Axial view | Head
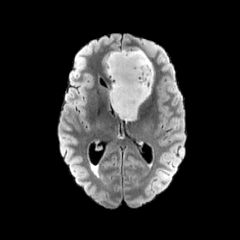
FLAIR MR.
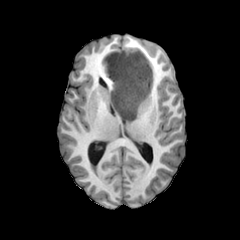
T1-weighted MRI.
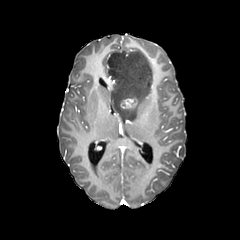
Same slice, post-contrast T1-weighted MR image.
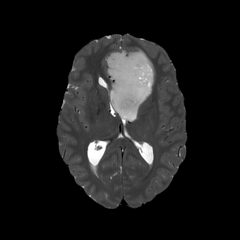
T2-weighted MRI.
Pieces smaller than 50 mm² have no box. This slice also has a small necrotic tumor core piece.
peritumoral edema: bounding box rect(105, 49, 153, 121)
enhancing tumor: bounding box rect(120, 98, 137, 108)